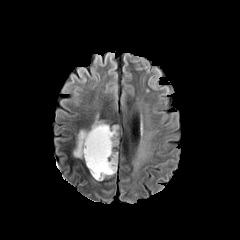
FLAIR MR.
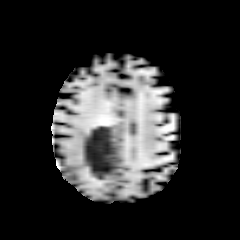
T1-weighted magnetic resonance.
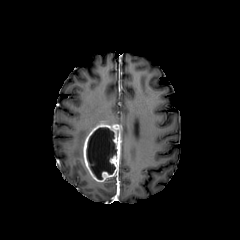
Post-contrast T1-weighted MR.
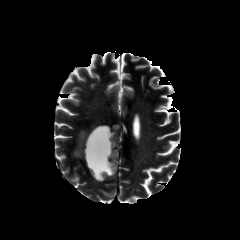
T2-weighted MR image of the same slice.
Axial plane, Head
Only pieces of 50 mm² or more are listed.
peritumoral edema: bounding box (73,130,89,157)
necrotic tumor core: bounding box (87,127,116,179)
enhancing tumor: bounding box (83,123,121,181)